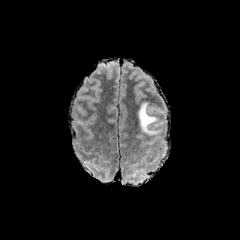
FLAIR MR.
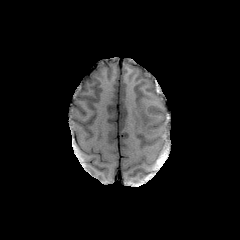
T1-weighted MR image.
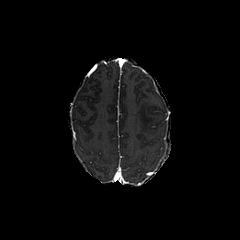
Same slice, post-contrast T1-weighted magnetic resonance.
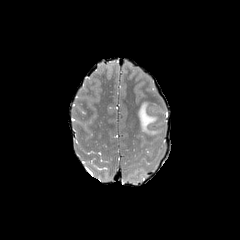
Same slice, T2-weighted MR image.
The peritumoral edema is located at (138, 102, 158, 134).